FLAIR MR.
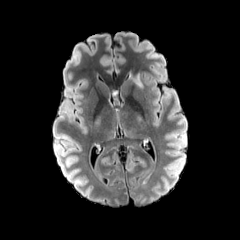
T1-weighted magnetic resonance.
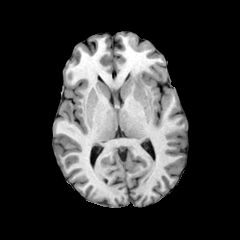
Post-contrast T1-weighted MR.
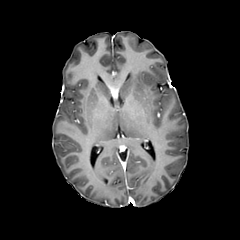
T2-weighted MRI.
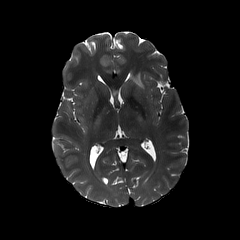
240x240 | Head
enhancing tumor: rect(110, 85, 118, 97) | peritumoral edema: rect(128, 71, 144, 88)